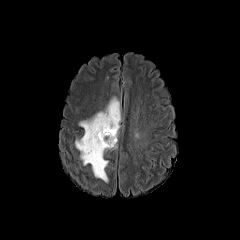
FLAIR MRI.
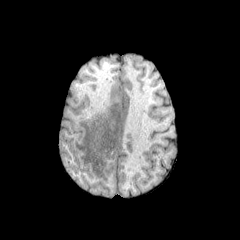
T1-weighted magnetic resonance.
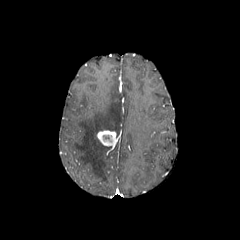
Same slice, post-contrast T1-weighted MRI.
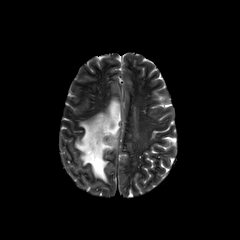
T2-weighted MR.
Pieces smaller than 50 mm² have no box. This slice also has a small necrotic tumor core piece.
peritumoral edema: bounding box (75, 97, 121, 182)
enhancing tumor: bounding box (97, 130, 116, 146)